Slice index 90
FLAIR magnetic resonance.
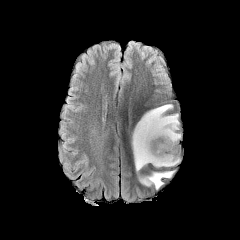
T1-weighted MRI.
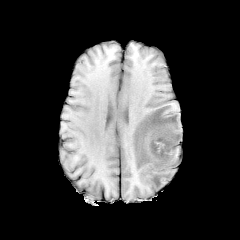
Post-contrast T1-weighted magnetic resonance.
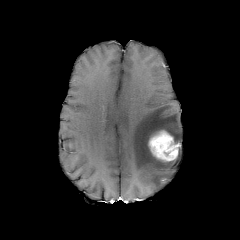
T2-weighted MR image.
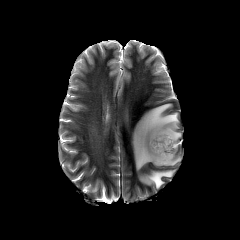
peritumoral edema = 139,170,174,189; 132,104,181,172
enhancing tumor = 148,130,180,162